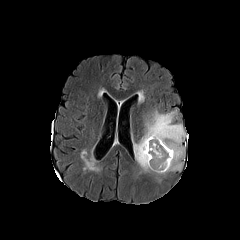
FLAIR MRI.
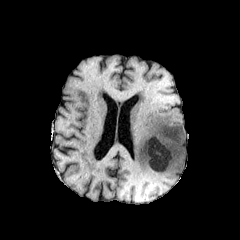
T1-weighted magnetic resonance.
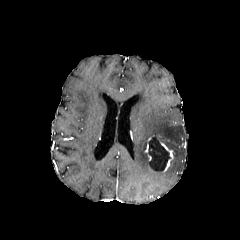
Post-contrast T1-weighted MR.
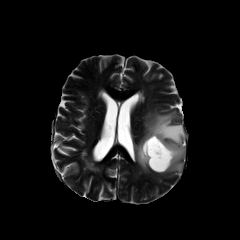
T2-weighted MRI of the same slice.
Head.
2 enhancing tumor regions appear at l=161, t=143, r=173, b=171; l=145, t=138, r=151, b=160. The peritumoral edema is located at l=134, t=110, r=188, b=175. The necrotic tumor core lies within l=148, t=137, r=170, b=171.